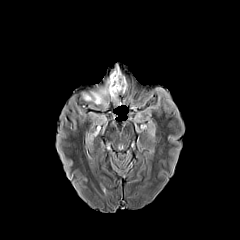
FLAIR magnetic resonance.
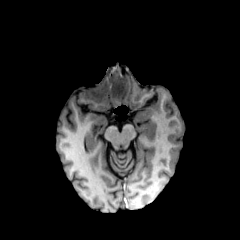
Same slice, T1-weighted MRI.
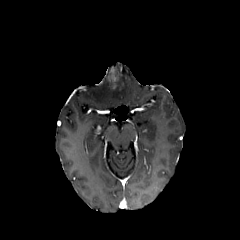
Post-contrast T1-weighted magnetic resonance.
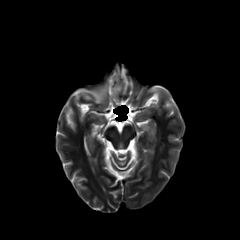
T2-weighted MR image.
Axial slice; 240x240
The enhancing tumor is at x1=110, y1=70, x2=118, y2=88. The peritumoral edema is bounded by x1=83, y1=65, x2=127, y2=104.